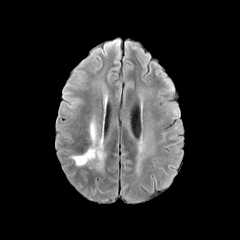
FLAIR MRI.
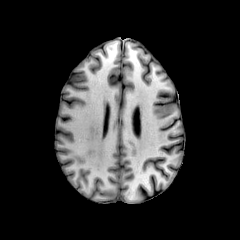
Same slice, T1-weighted MR image.
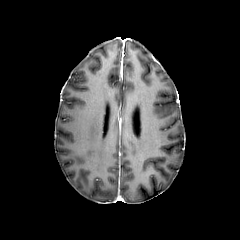
Post-contrast T1-weighted MRI.
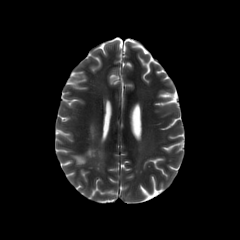
T2-weighted MR.
240x240
peritumoral edema: [90, 121, 96, 140], [72, 143, 104, 165]